Slice 84 of 155
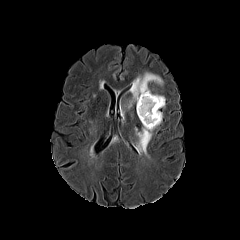
FLAIR MR image.
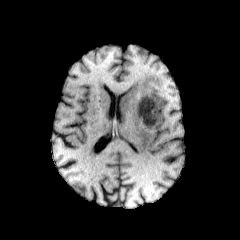
Same slice, T1-weighted MR image.
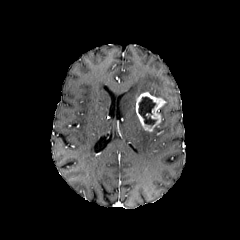
Same slice, post-contrast T1-weighted MRI.
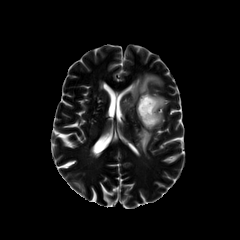
T2-weighted MR.
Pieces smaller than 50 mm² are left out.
necrotic tumor core — (138,97,156,125)
enhancing tumor — (136,92,165,131)
peritumoral edema — (127,72,162,108), (135,127,152,157)